Image size 240x240
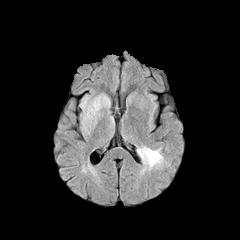
FLAIR MRI.
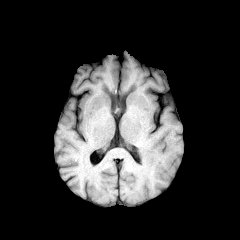
T1-weighted MR image.
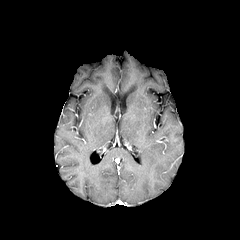
Same slice, post-contrast T1-weighted MR.
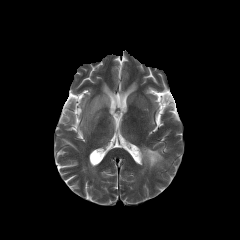
T2-weighted MR image of the same slice.
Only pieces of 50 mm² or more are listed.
peritumoral edema at 137, 146, 163, 169; 81, 95, 108, 138